FLAIR MR image.
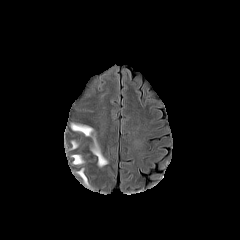
T1-weighted MR image.
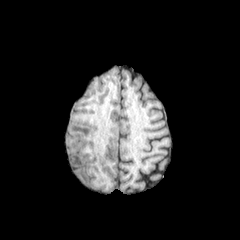
Post-contrast T1-weighted MR image.
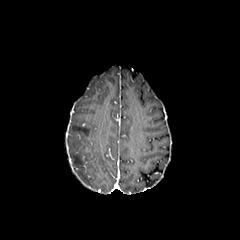
T2-weighted MR image.
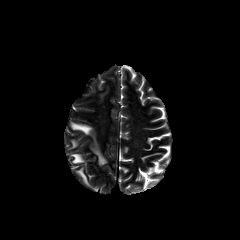
Head | 240x240
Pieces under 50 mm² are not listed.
peritumoral edema = x1=71, y1=123, x2=107, y2=166; x1=77, y1=169, x2=88, y2=185; x1=72, y1=154, x2=83, y2=164